Head. Axial view. Image size 240x240. Image covers 240 mm x 240 mm. Slice index 55.
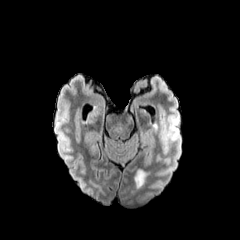
FLAIR MR image.
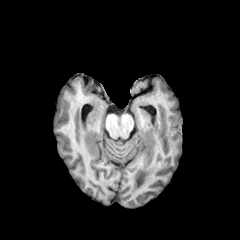
Same slice, T1-weighted MR image.
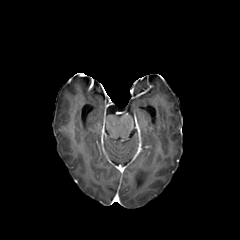
Post-contrast T1-weighted MR image of the same slice.
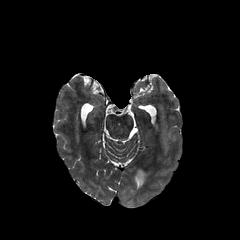
T2-weighted magnetic resonance.
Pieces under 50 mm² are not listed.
peritumoral edema at (161,126,177,143)